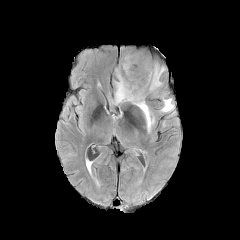
FLAIR magnetic resonance.
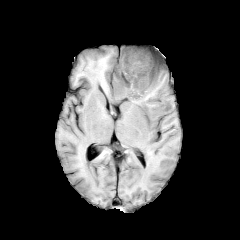
T1-weighted MR image.
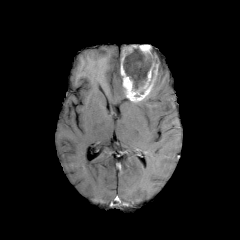
Post-contrast T1-weighted MR image of the same slice.
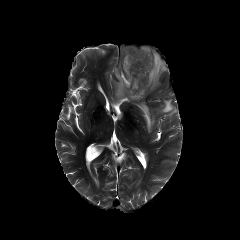
Same slice, T2-weighted MR image.
Image size 240x240, Axial slice
Segmented structures:
* enhancing tumor: box(120, 45, 161, 102)
* peritumoral edema: box(115, 67, 154, 132); box(152, 64, 165, 90); box(160, 98, 174, 113)
* necrotic tumor core: box(123, 45, 151, 89)